FLAIR MR.
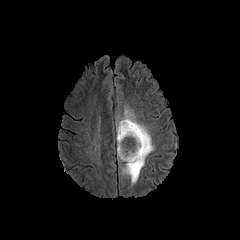
T1-weighted MR image.
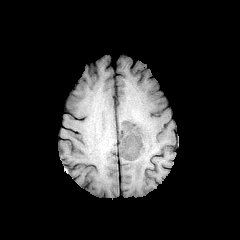
Post-contrast T1-weighted MRI.
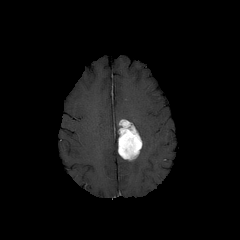
T2-weighted MRI.
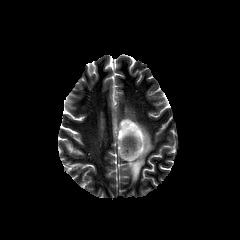
Axial view
peritumoral edema: box(116, 107, 154, 184)
enhancing tumor: box(118, 119, 142, 161)